Head. Axial slice.
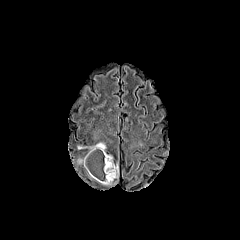
FLAIR MR image.
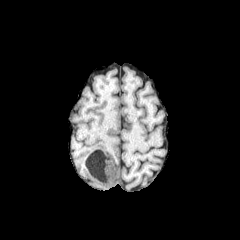
T1-weighted MR image.
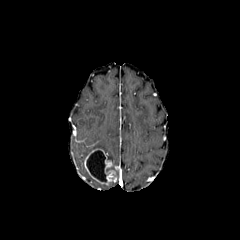
Post-contrast T1-weighted MR of the same slice.
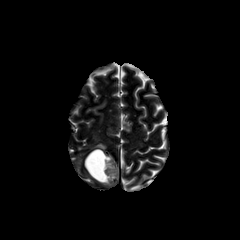
T2-weighted MR image.
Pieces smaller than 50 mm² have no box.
enhancing_tumor:
  - region(84, 149, 118, 184)
necrotic_tumor_core:
  - region(86, 150, 106, 181)
peritumoral_edema:
  - region(89, 143, 105, 152)